Brain. Slice index 61.
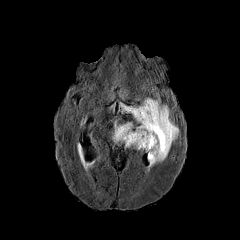
FLAIR MR image.
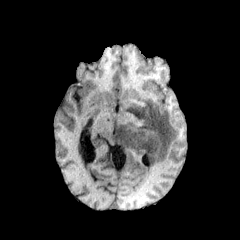
T1-weighted MR image.
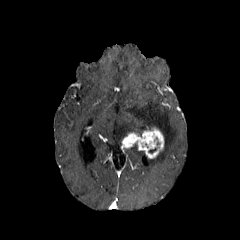
Same slice, post-contrast T1-weighted MR.
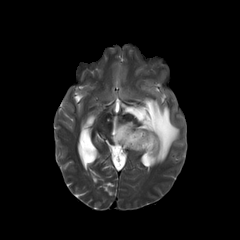
T2-weighted magnetic resonance.
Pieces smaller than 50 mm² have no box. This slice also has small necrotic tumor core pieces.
peritumoral_edema:
  - 112,98,179,169
enhancing_tumor:
  - 122,127,164,158